240x240, Slice 122 of 155
FLAIR MRI.
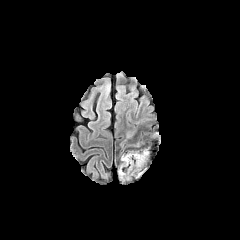
T1-weighted MR image.
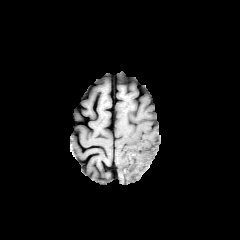
Post-contrast T1-weighted MR image.
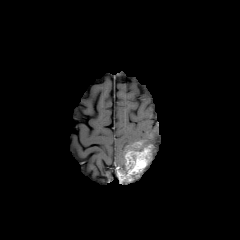
T2-weighted MRI.
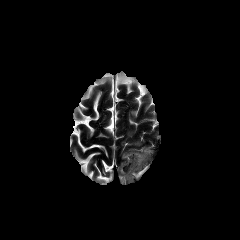
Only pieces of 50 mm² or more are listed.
The largest enhancing tumor region is located at {"x1": 118, "y1": 145, "x2": 152, "y2": 181}. The largest peritumoral edema region is at {"x1": 118, "y1": 153, "x2": 125, "y2": 172}.